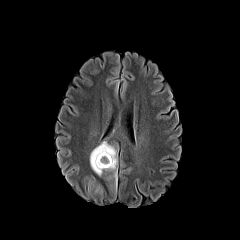
FLAIR MRI.
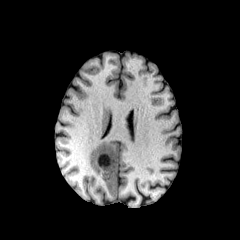
Same slice, T1-weighted MR image.
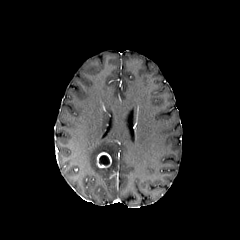
Post-contrast T1-weighted MRI.
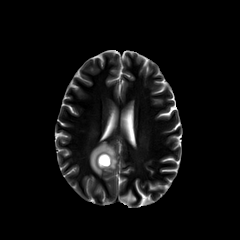
T2-weighted magnetic resonance.
Axial view
<segmentation>
  <necrotic_tumor_core>x1=99 y1=155 x2=109 y2=165</necrotic_tumor_core>
  <enhancing_tumor>x1=97 y1=152 x2=111 y2=168</enhancing_tumor>
  <peritumoral_edema>x1=90 y1=141 x2=117 y2=187</peritumoral_edema>
</segmentation>